FLAIR magnetic resonance.
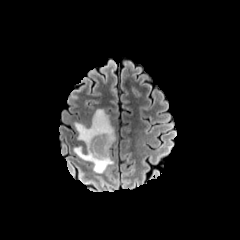
T1-weighted MR image.
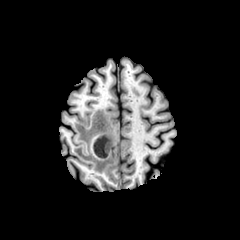
Post-contrast T1-weighted magnetic resonance.
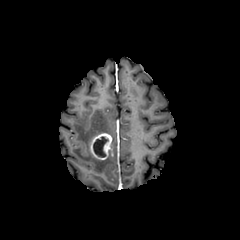
T2-weighted MRI.
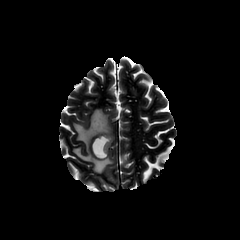
Axial view | Brain
The peritumoral edema lies within box(73, 109, 114, 173). The enhancing tumor lies within box(90, 133, 111, 159). The necrotic tumor core is located at box(93, 137, 108, 157).